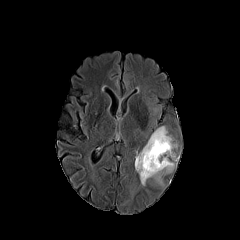
FLAIR MR.
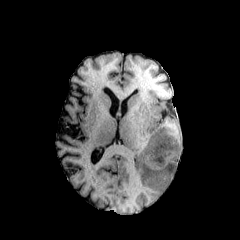
T1-weighted MRI of the same slice.
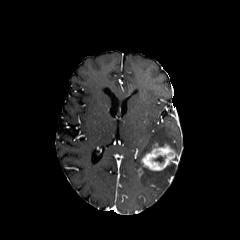
Post-contrast T1-weighted MR.
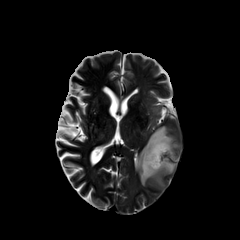
Same slice, T2-weighted MR.
Head, Axial slice, Image size 240x240
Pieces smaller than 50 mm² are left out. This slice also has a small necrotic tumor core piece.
{"enhancing_tumor": ["box=[141, 143, 178, 171]"], "peritumoral_edema": ["box=[135, 126, 177, 185]"]}